Axial slice, Slice 83 of 155
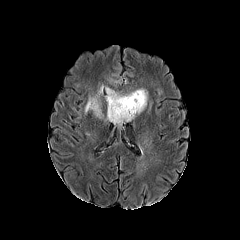
FLAIR MR.
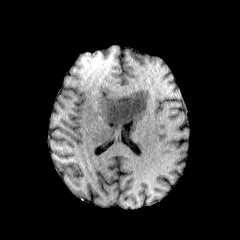
T1-weighted MR image.
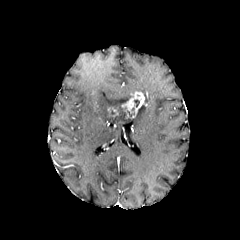
Same slice, post-contrast T1-weighted MR image.
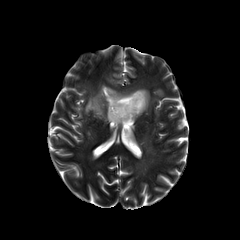
T2-weighted MR image.
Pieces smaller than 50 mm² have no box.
enhancing tumor: bounding box (121, 91, 145, 115)
peritumoral edema: bounding box (85, 85, 130, 118), (106, 116, 131, 126)
necrotic tumor core: bounding box (107, 105, 127, 119)